FLAIR MRI.
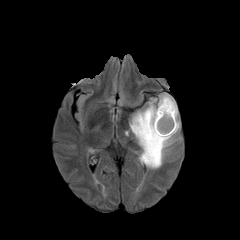
T1-weighted MRI.
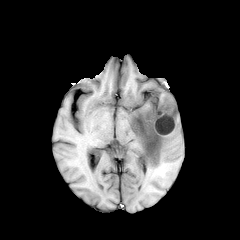
Post-contrast T1-weighted magnetic resonance.
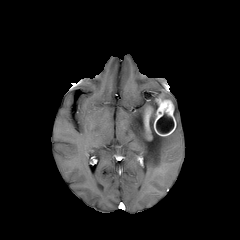
T2-weighted MRI.
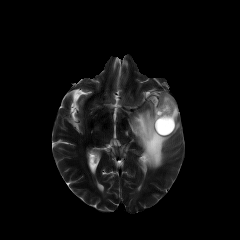
Head | 240x240 px
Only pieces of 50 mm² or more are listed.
necrotic_tumor_core:
  - 156 113 174 133
enhancing_tumor:
  - 143 97 176 140
peritumoral_edema:
  - 129 93 179 168
  - 148 98 157 112